FLAIR magnetic resonance.
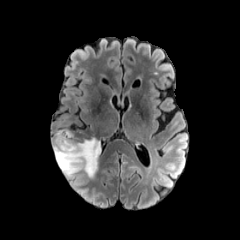
T1-weighted MR image.
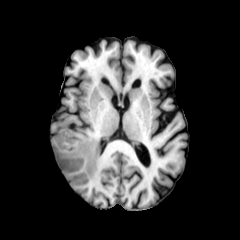
Post-contrast T1-weighted MR image.
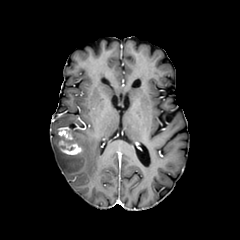
T2-weighted MR image.
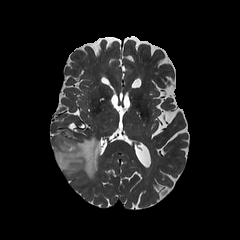
Axial slice
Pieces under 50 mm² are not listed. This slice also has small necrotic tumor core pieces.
{
  "peritumoral_edema": [
    "(53, 130, 101, 177)"
  ],
  "enhancing_tumor": [
    "(58, 127, 82, 155)"
  ]
}